FLAIR MR.
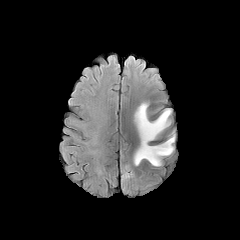
T1-weighted MRI.
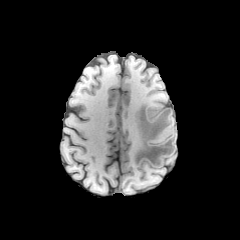
Post-contrast T1-weighted MR.
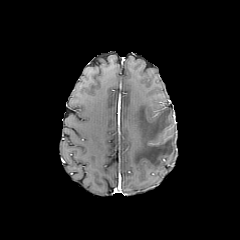
T2-weighted magnetic resonance.
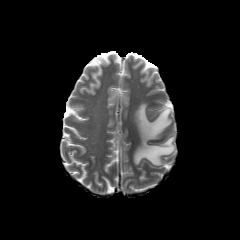
Axial view
<segmentation>
  <peritumoral_edema>133, 103, 174, 166</peritumoral_edema>
</segmentation>